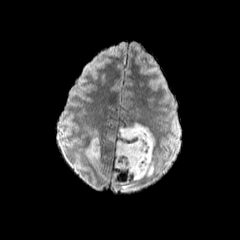
FLAIR MR image.
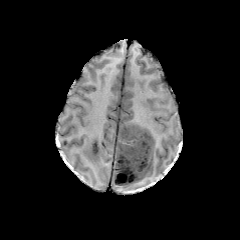
T1-weighted MRI.
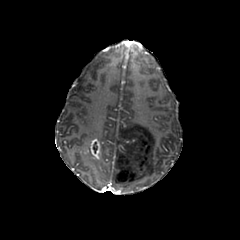
Post-contrast T1-weighted MR image of the same slice.
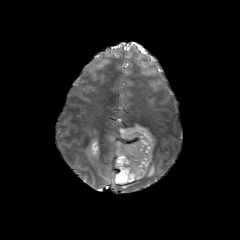
T2-weighted MR image.
240x240 px | Axial slice | Head
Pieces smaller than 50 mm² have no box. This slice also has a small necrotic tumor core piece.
peritumoral edema: left=88, top=158, right=102, bottom=171; left=112, top=123, right=154, bottom=189; left=80, top=143, right=91, bottom=153
enhancing tumor: left=84, top=138, right=100, bottom=159